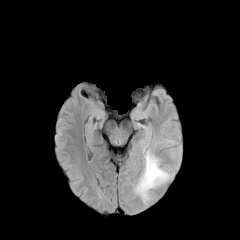
FLAIR MR image.
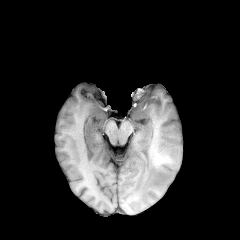
Same slice, T1-weighted MR image.
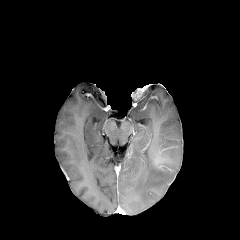
Same slice, post-contrast T1-weighted MRI.
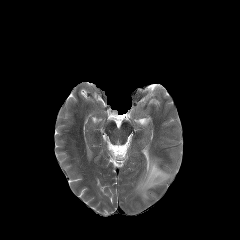
Same slice, T2-weighted MRI.
240x240, Axial plane, Brain
peritumoral edema: <bbox>136, 151, 181, 201</bbox>